FLAIR magnetic resonance.
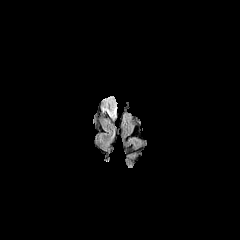
T1-weighted MR.
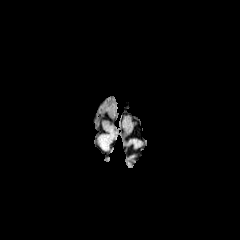
Post-contrast T1-weighted MRI.
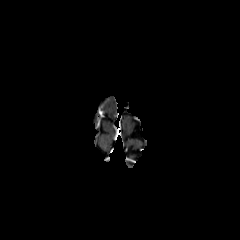
T2-weighted MR image.
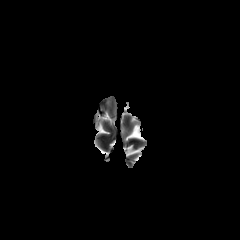
Axial view
Annotated regions:
• peritumoral edema: (103, 96, 116, 118)